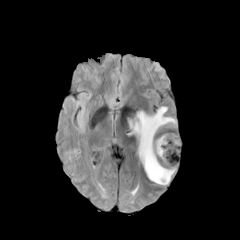
FLAIR magnetic resonance.
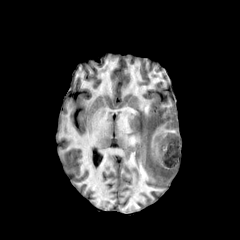
T1-weighted MR.
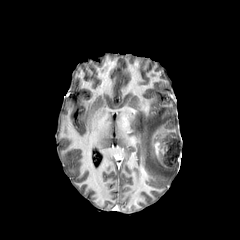
Post-contrast T1-weighted MRI.
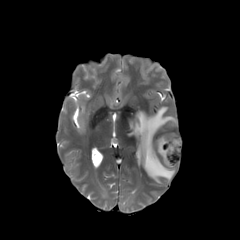
T2-weighted MRI.
Brain. Axial slice.
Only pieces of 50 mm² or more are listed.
enhancing tumor: (x1=153, y1=135, x2=175, y2=168)
necrotic tumor core: (x1=159, y1=137, x2=180, y2=166)
peritumoral edema: (x1=127, y1=106, x2=177, y2=185)